FLAIR MRI.
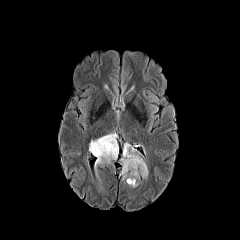
T1-weighted MR.
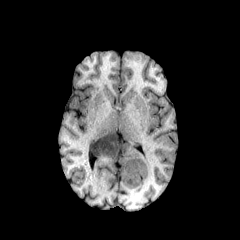
Post-contrast T1-weighted MR image.
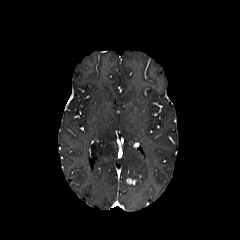
T2-weighted MR.
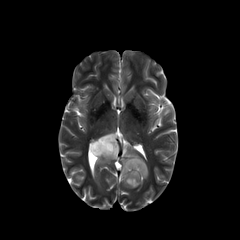
240x240 | Axial view
enhancing tumor at box(126, 178, 135, 184)
peritumoral edema at box(89, 133, 118, 168); box(121, 143, 148, 187)